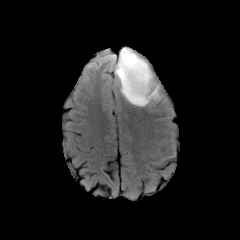
FLAIR magnetic resonance.
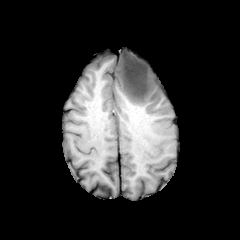
T1-weighted magnetic resonance.
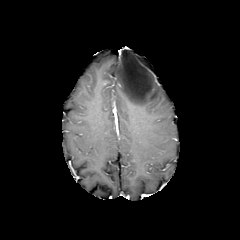
Post-contrast T1-weighted MRI of the same slice.
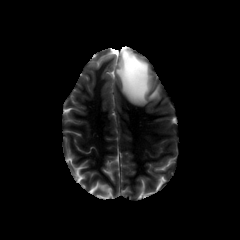
Same slice, T2-weighted MRI.
Axial view.
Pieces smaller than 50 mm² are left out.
• peritumoral edema: (114, 48, 161, 106)